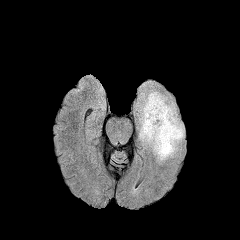
FLAIR magnetic resonance.
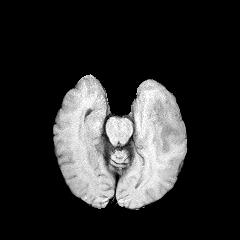
T1-weighted MR.
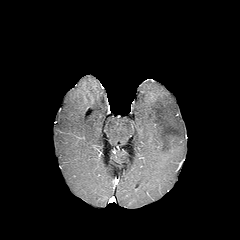
Post-contrast T1-weighted magnetic resonance.
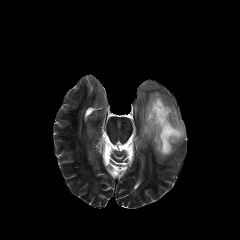
T2-weighted MR image.
Axial slice, 240x240, Head
The peritumoral edema is at (x1=139, y1=91, x2=184, y2=161).